FLAIR MR image.
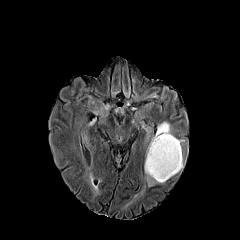
T1-weighted MR image.
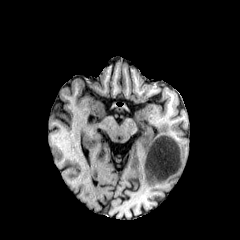
Post-contrast T1-weighted magnetic resonance.
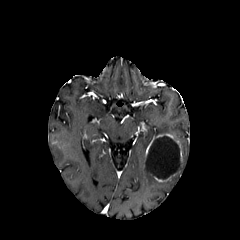
T2-weighted magnetic resonance.
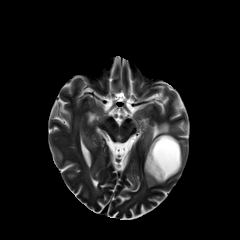
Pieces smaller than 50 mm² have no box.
necrotic tumor core: left=145, top=135, right=181, bottom=179 | enhancing tumor: left=153, top=173, right=176, bottom=182; left=145, top=133, right=182, bottom=162 | peritumoral edema: left=144, top=166, right=159, bottom=186; left=156, top=122, right=170, bottom=135